Axial view, Slice 48 of 155
FLAIR MR.
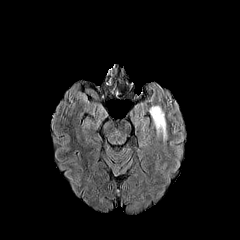
T1-weighted MR image.
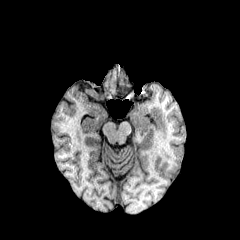
Post-contrast T1-weighted MR image.
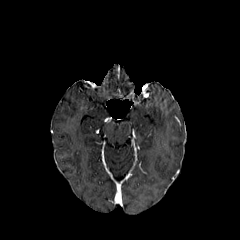
T2-weighted MRI.
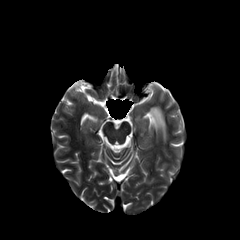
The peritumoral edema lies within x1=149, y1=106, x2=166, y2=141.